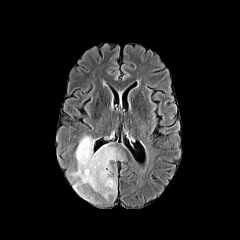
FLAIR magnetic resonance.
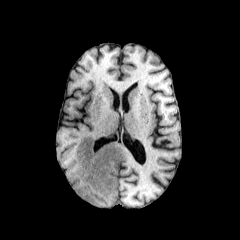
T1-weighted MR.
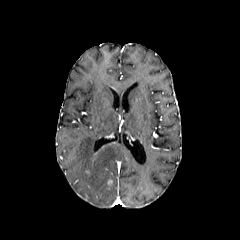
Same slice, post-contrast T1-weighted MR image.
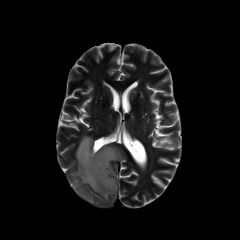
T2-weighted MRI of the same slice.
Brain
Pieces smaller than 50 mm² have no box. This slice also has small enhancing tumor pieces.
peritumoral_edema:
  - [69, 135, 122, 203]